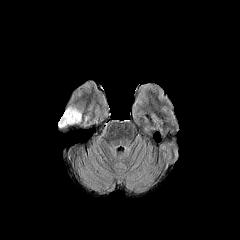
FLAIR MR.
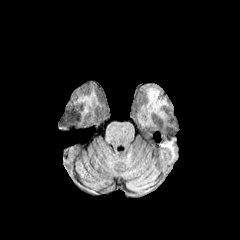
T1-weighted magnetic resonance of the same slice.
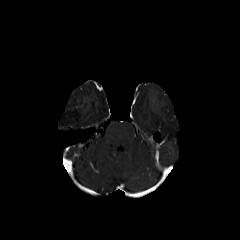
Post-contrast T1-weighted MR.
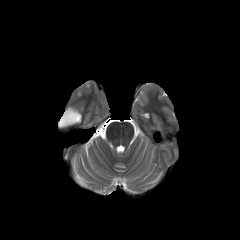
T2-weighted MR of the same slice.
Axial plane. Image size 240x240.
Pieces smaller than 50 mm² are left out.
{"peritumoral_edema": ["59,107,81,127"]}